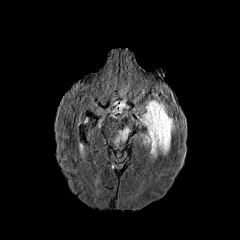
FLAIR MR.
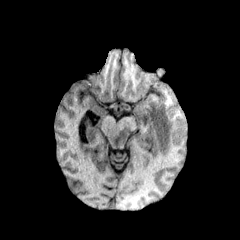
T1-weighted magnetic resonance.
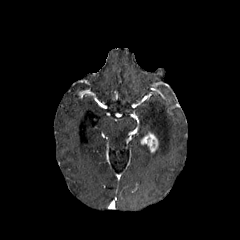
Post-contrast T1-weighted MR image of the same slice.
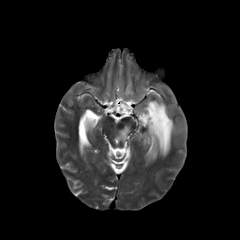
Same slice, T2-weighted MRI.
Brain; Axial view
peritumoral edema: (139,100,174,158), (115,127,129,141) | enhancing tumor: (141,133,158,153)